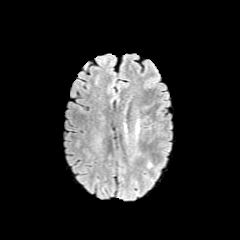
FLAIR MRI.
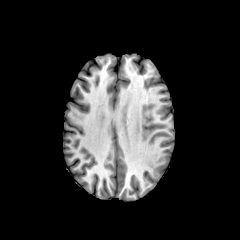
Same slice, T1-weighted MR.
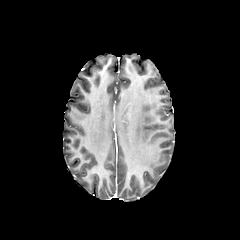
Post-contrast T1-weighted MR.
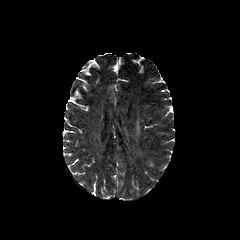
T2-weighted magnetic resonance of the same slice.
Axial slice | Head
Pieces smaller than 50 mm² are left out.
Segmented structures:
• peritumoral edema: l=135, t=120, r=139, b=138